FLAIR MR image.
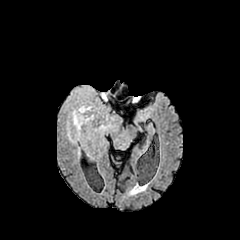
T1-weighted MR.
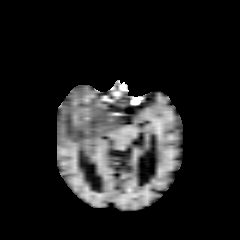
Post-contrast T1-weighted MR.
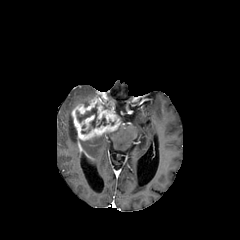
T2-weighted MR.
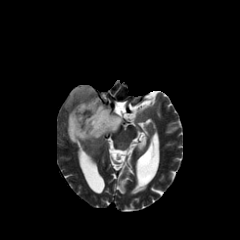
Axial view. Head. 240x240 px.
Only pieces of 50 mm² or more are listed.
Annotated regions:
- enhancing tumor: rect(71, 97, 121, 140)
- peritumoral edema: rect(67, 86, 93, 109); rect(67, 112, 77, 143)
- necrotic tumor core: rect(97, 117, 106, 126); rect(76, 104, 97, 127)